FLAIR magnetic resonance.
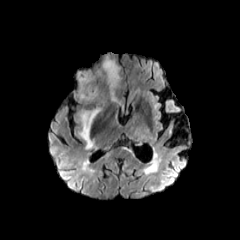
T1-weighted MR image.
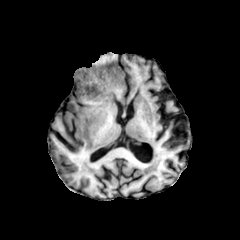
Post-contrast T1-weighted magnetic resonance.
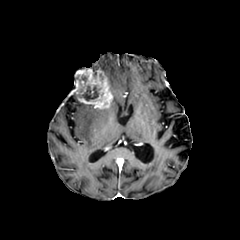
T2-weighted MRI.
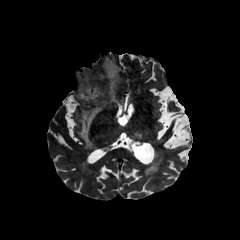
Brain
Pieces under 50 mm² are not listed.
necrotic tumor core: 78,86,100,100 | peritumoral edema: 103,59,119,100; 79,108,101,149 | enhancing tumor: 74,68,112,108